FLAIR MR.
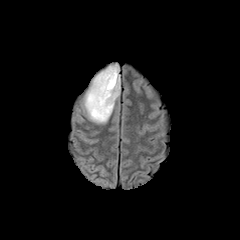
T1-weighted MRI.
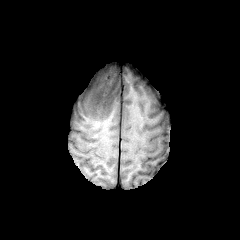
Post-contrast T1-weighted MR.
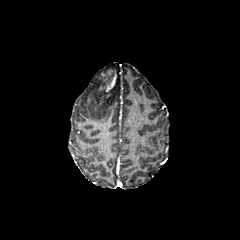
T2-weighted MR.
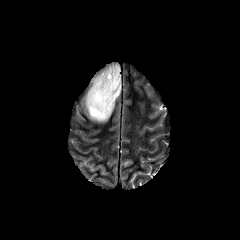
240x240 px; Brain
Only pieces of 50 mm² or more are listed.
Annotated regions:
- enhancing tumor: 88:69:117:106
- peritumoral edema: 84:64:120:122